Head | Axial plane | Slice index 105
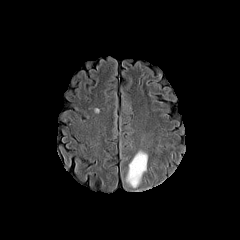
FLAIR MRI.
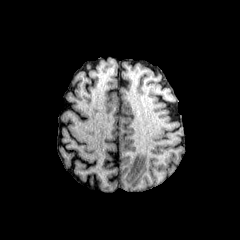
T1-weighted MR image.
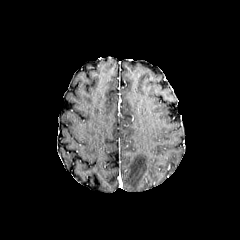
Post-contrast T1-weighted MRI.
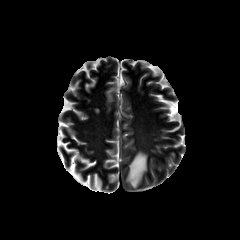
T2-weighted MRI.
The peritumoral edema appears at 125:151:147:188.